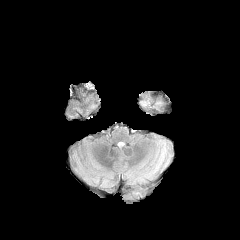
FLAIR MRI.
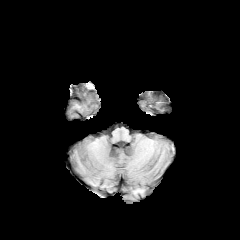
T1-weighted MR image.
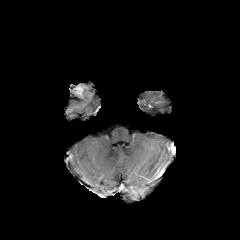
Post-contrast T1-weighted MR image.
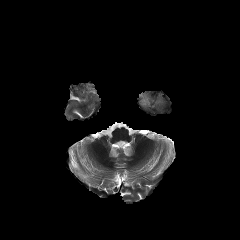
Same slice, T2-weighted magnetic resonance.
Axial slice.
Annotated regions:
• peritumoral edema: l=138, t=91, r=170, b=113